FLAIR MR.
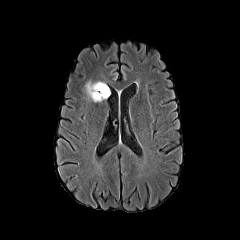
T1-weighted MR.
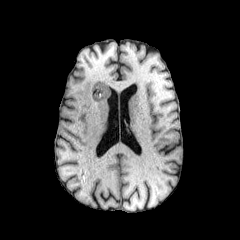
Post-contrast T1-weighted magnetic resonance.
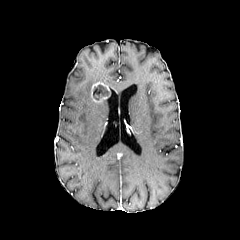
T2-weighted magnetic resonance.
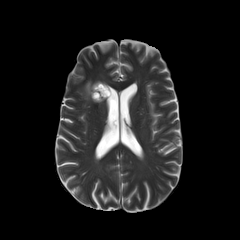
Brain
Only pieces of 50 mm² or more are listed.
The enhancing tumor is at box=[91, 82, 110, 102]. The necrotic tumor core appears at box=[93, 85, 109, 100]. The largest peritumoral edema region appears at box=[85, 81, 93, 99].